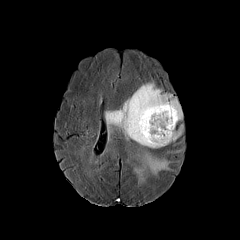
FLAIR magnetic resonance.
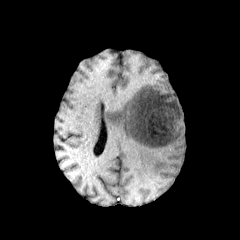
Same slice, T1-weighted MR.
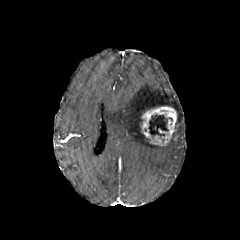
Post-contrast T1-weighted MR of the same slice.
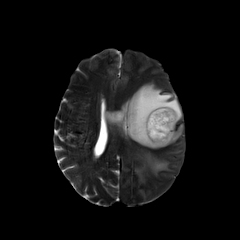
T2-weighted MRI.
Brain
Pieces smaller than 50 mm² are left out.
The largest enhancing tumor region is at 140, 106, 177, 146. The largest necrotic tumor core region lies within 148, 115, 168, 136. The 2 largest peritumoral edema regions are bounded by 167, 124, 183, 144; 105, 82, 182, 184.